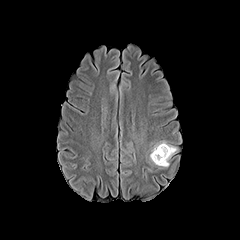
FLAIR MR image.
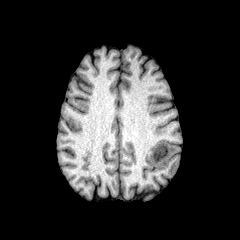
Same slice, T1-weighted magnetic resonance.
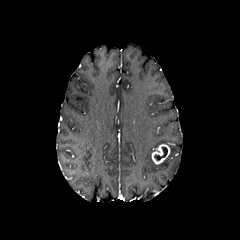
Same slice, post-contrast T1-weighted MRI.
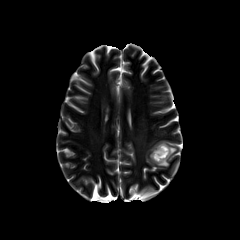
T2-weighted magnetic resonance.
Image size 240x240, Head, Axial slice
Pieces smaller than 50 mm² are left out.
enhancing tumor: l=151, t=144, r=170, b=164
necrotic tumor core: l=154, t=147, r=167, b=160
peritumoral edema: l=158, t=146, r=176, b=166